FLAIR MR.
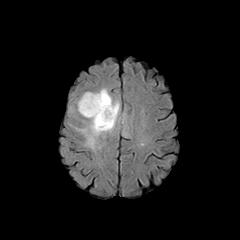
T1-weighted MR.
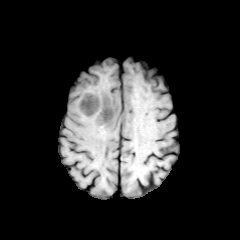
Post-contrast T1-weighted MR image.
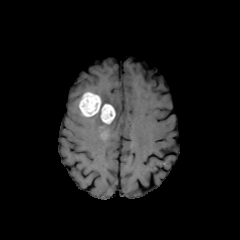
T2-weighted magnetic resonance.
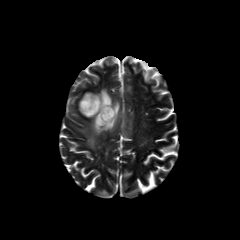
Axial view
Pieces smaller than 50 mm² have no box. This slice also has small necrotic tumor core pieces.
The enhancing tumor is at l=78, t=92, r=115, b=124. The largest peritumoral edema region is bounded by l=76, t=88, r=121, b=149.